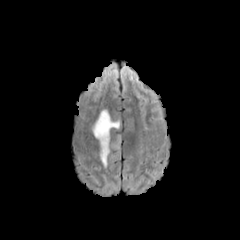
FLAIR MR image.
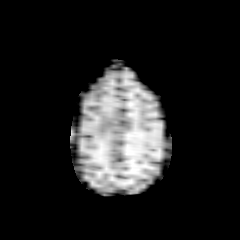
T1-weighted magnetic resonance of the same slice.
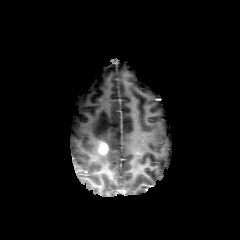
Same slice, post-contrast T1-weighted MR.
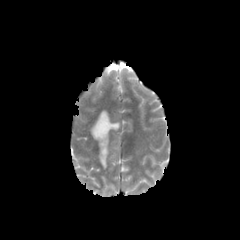
T2-weighted MR image.
Brain | Axial slice
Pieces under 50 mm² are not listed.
peritumoral edema = x1=93 y1=110 x2=119 y2=166
enhancing tumor = x1=100 y1=143 x2=108 y2=153